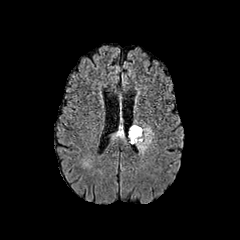
FLAIR MRI.
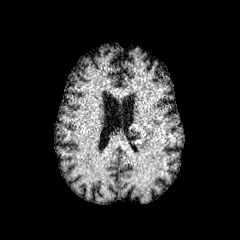
Same slice, T1-weighted MR.
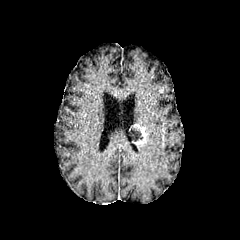
Post-contrast T1-weighted MR image.
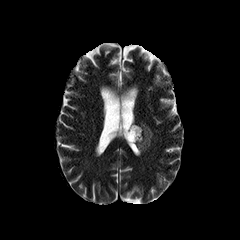
T2-weighted magnetic resonance.
Head.
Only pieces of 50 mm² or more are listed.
The largest enhancing tumor region is at bbox=[130, 124, 149, 147]. The necrotic tumor core is at bbox=[129, 127, 142, 141]. 2 peritumoral edema regions appear at bbox=[112, 125, 124, 138]; bbox=[138, 124, 153, 153].